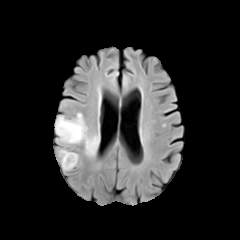
FLAIR MR image.
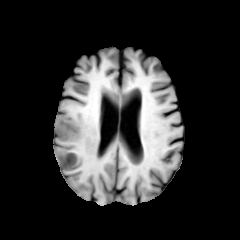
T1-weighted MR image of the same slice.
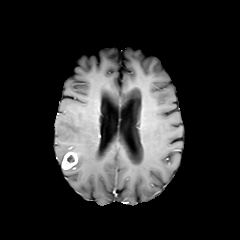
Post-contrast T1-weighted MR image.
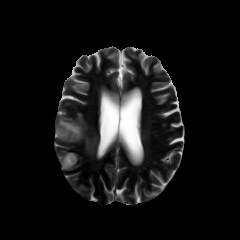
Same slice, T2-weighted MR image.
Head; 240x240
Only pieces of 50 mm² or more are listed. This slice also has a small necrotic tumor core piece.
- peritumoral edema: (left=58, top=150, right=67, bottom=165), (left=55, top=113, right=98, bottom=155)
- enhancing tumor: (left=62, top=152, right=77, bottom=169)